Brain, Image width 240 mm, 1.00 mm slice spacing, Axial plane
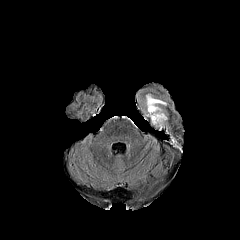
FLAIR MR image.
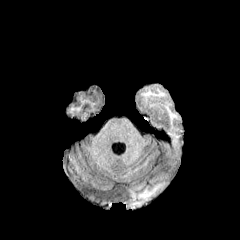
T1-weighted MR image of the same slice.
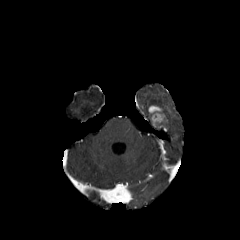
Post-contrast T1-weighted magnetic resonance.
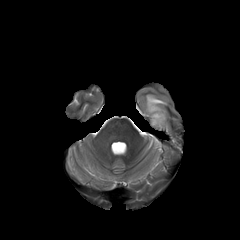
T2-weighted magnetic resonance.
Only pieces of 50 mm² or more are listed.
The enhancing tumor appears at <box>148,105,166,127</box>. The largest peritumoral edema region is located at <box>136,86,169,133</box>.